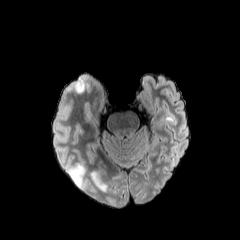
FLAIR MRI.
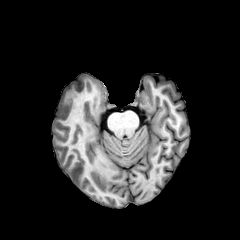
T1-weighted magnetic resonance.
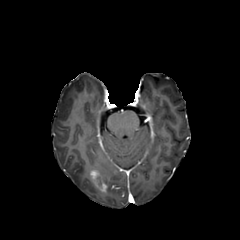
Post-contrast T1-weighted MRI of the same slice.
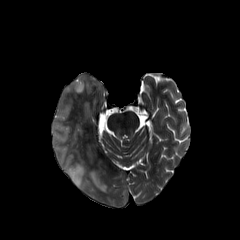
Same slice, T2-weighted MRI.
Head, 240x240
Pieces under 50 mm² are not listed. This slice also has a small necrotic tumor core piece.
{
  "peritumoral_edema": [
    "(68,165,86,188)",
    "(67,76,85,93)"
  ],
  "enhancing_tumor": [
    "(90,170,106,192)"
  ]
}